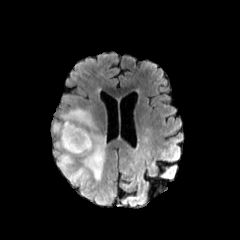
FLAIR MRI.
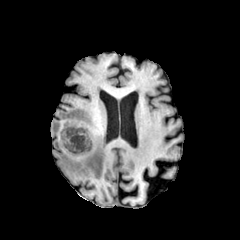
T1-weighted magnetic resonance of the same slice.
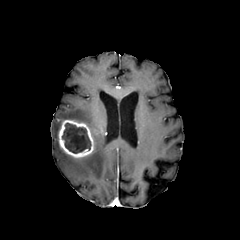
Post-contrast T1-weighted MR.
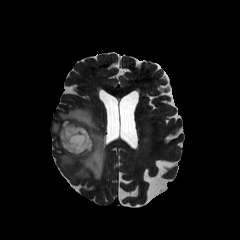
T2-weighted magnetic resonance.
Head
Findings:
* peritumoral edema: rect(52, 107, 105, 203)
* necrotic tumor core: rect(62, 123, 90, 153)
* enhancing tumor: rect(58, 119, 94, 158)